Brain. Image width 240 mm, 1.00 mm slice spacing. Slice 53 of 155. Axial plane. 240x240 px.
FLAIR MRI.
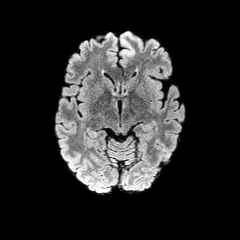
T1-weighted magnetic resonance.
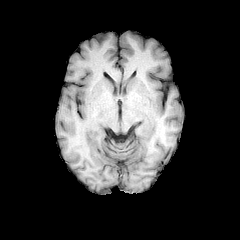
Post-contrast T1-weighted magnetic resonance.
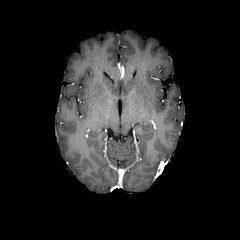
T2-weighted MRI.
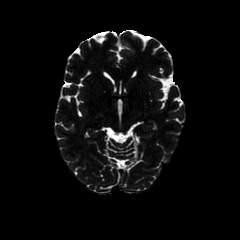
{"peritumoral_edema": ["x1=120 y1=31 x2=134 y2=56"]}